240x240 px. Slice 67/155. Head.
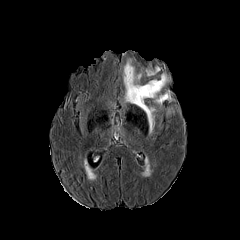
FLAIR MRI.
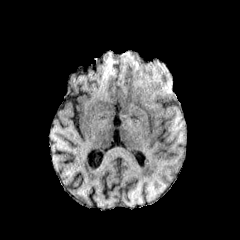
T1-weighted MR image.
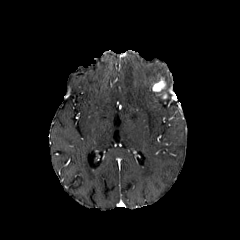
Same slice, post-contrast T1-weighted MRI.
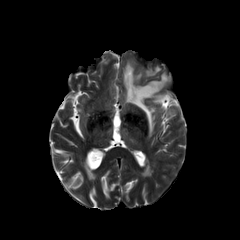
Same slice, T2-weighted MR image.
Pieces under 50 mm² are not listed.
enhancing_tumor:
  - box(152, 77, 165, 91)
peritumoral_edema:
  - box(146, 66, 160, 75)
  - box(123, 60, 164, 134)